Head; Axial view
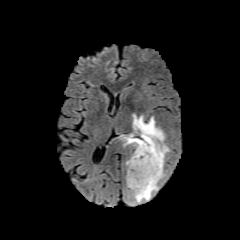
FLAIR MR image.
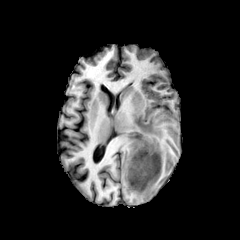
Same slice, T1-weighted MRI.
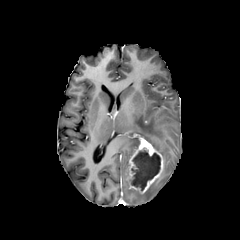
Post-contrast T1-weighted MRI.
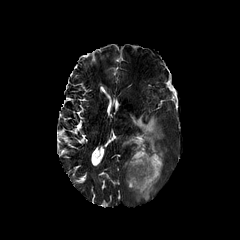
T2-weighted magnetic resonance.
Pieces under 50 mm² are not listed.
<segmentation>
  <enhancing_tumor>box(127, 137, 163, 193)</enhancing_tumor>
  <necrotic_tumor_core>box(131, 150, 160, 190)</necrotic_tumor_core>
  <peritumoral_edema>box(122, 134, 139, 148); box(131, 170, 164, 202); box(132, 114, 169, 161)</peritumoral_edema>
</segmentation>